FLAIR MRI.
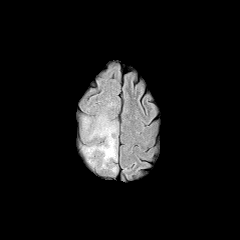
T1-weighted MRI.
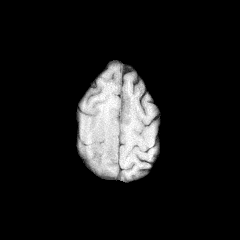
Post-contrast T1-weighted MRI.
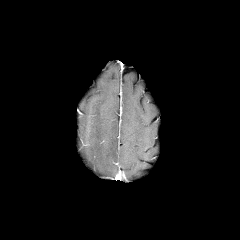
T2-weighted magnetic resonance.
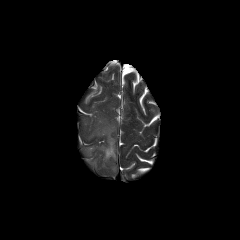
Axial slice; 240x240
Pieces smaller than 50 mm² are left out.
peritumoral_edema:
  - l=84, t=118, r=89, b=128
  - l=83, t=115, r=117, b=168